Brain; 240x240 px; Slice index 46; Axial plane
FLAIR MRI.
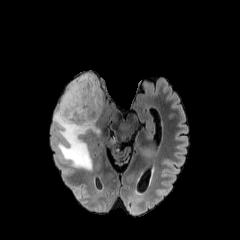
T1-weighted MR image.
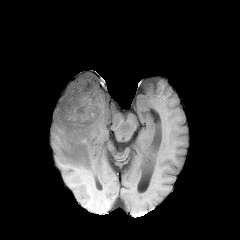
Post-contrast T1-weighted magnetic resonance.
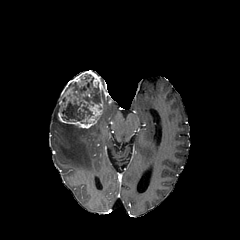
T2-weighted MR image.
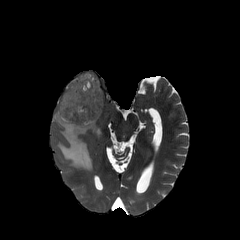
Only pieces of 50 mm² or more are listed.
enhancing tumor at rect(58, 71, 103, 128)
peritumoral edema at rect(53, 102, 100, 170)
necrotic tumor core at rect(62, 75, 100, 121)